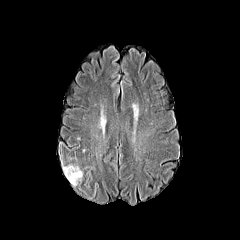
FLAIR magnetic resonance.
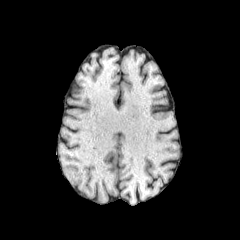
T1-weighted MR image.
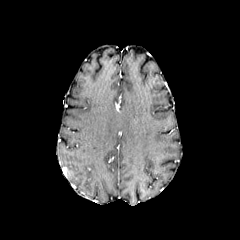
Post-contrast T1-weighted MRI of the same slice.
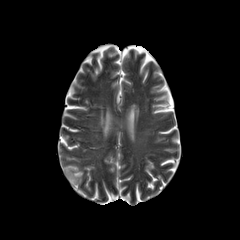
T2-weighted MRI of the same slice.
Brain.
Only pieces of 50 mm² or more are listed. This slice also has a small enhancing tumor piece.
peritumoral edema: bounding box 63, 165, 83, 184